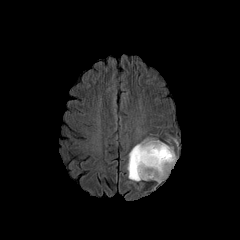
FLAIR magnetic resonance.
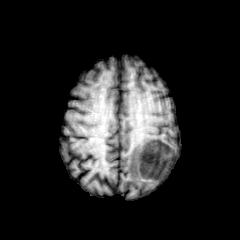
T1-weighted MRI of the same slice.
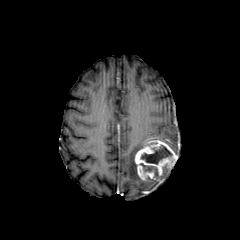
Post-contrast T1-weighted MR image of the same slice.
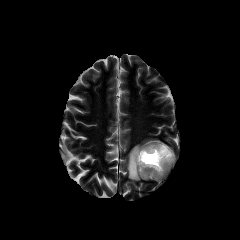
T2-weighted MR.
Brain. Axial view. 240x240.
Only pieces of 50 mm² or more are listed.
enhancing_tumor:
  - box=[135, 139, 176, 180]
necrotic_tumor_core:
  - box=[140, 163, 158, 177]
  - box=[141, 145, 171, 164]
peritumoral_edema:
  - box=[127, 140, 144, 181]